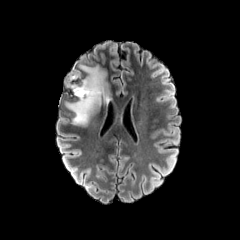
FLAIR MRI.
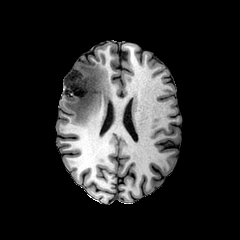
T1-weighted magnetic resonance.
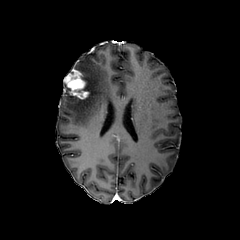
Same slice, post-contrast T1-weighted MR.
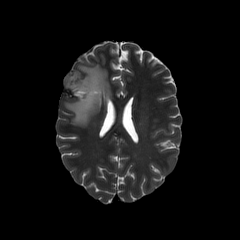
T2-weighted MRI of the same slice.
Brain. Axial view.
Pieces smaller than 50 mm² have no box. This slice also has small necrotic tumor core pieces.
peritumoral edema = (x1=65, y1=65, x2=109, y2=125)
enhancing tumor = (x1=63, y1=67, x2=88, y2=99)